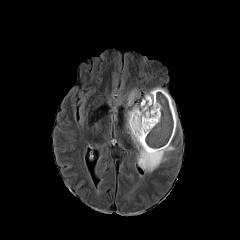
FLAIR MR.
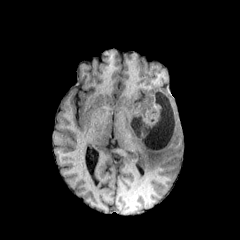
Same slice, T1-weighted MRI.
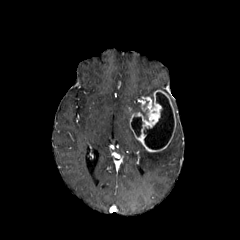
Same slice, post-contrast T1-weighted magnetic resonance.
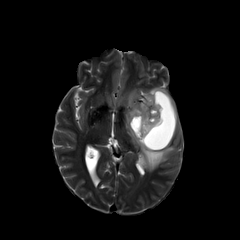
T2-weighted magnetic resonance.
Axial plane
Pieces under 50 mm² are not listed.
enhancing tumor: rect(129, 90, 176, 152) | necrotic tumor core: rect(144, 92, 174, 149); rect(131, 117, 142, 136) | peritumoral edema: rect(145, 87, 165, 101); rect(126, 103, 175, 171); rect(127, 89, 139, 105)